FLAIR MR.
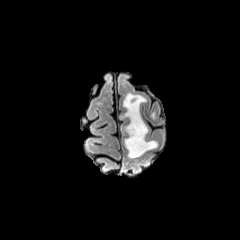
T1-weighted MRI.
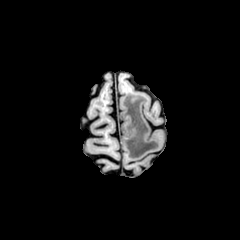
Post-contrast T1-weighted MRI.
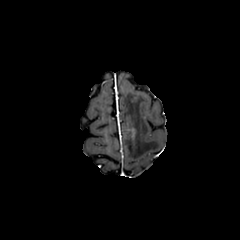
T2-weighted magnetic resonance.
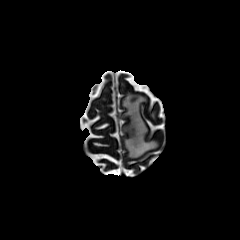
Head, Axial slice, 240x240
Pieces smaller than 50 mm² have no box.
enhancing tumor — <box>124,124,135,137</box>
peritumoral edema — <box>121,92,158,158</box>